Axial slice
FLAIR MRI.
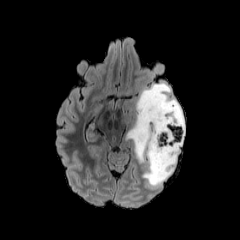
T1-weighted MRI.
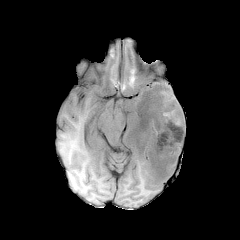
Post-contrast T1-weighted MRI.
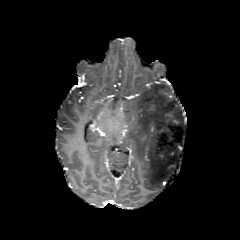
T2-weighted magnetic resonance.
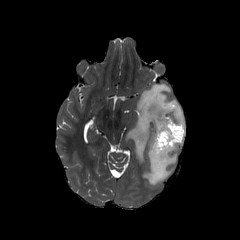
peritumoral edema: bounding box bbox(126, 82, 184, 186)